Brain, Slice 97 of 155, Axial slice, Image width 240 mm, 1.00 mm slice spacing
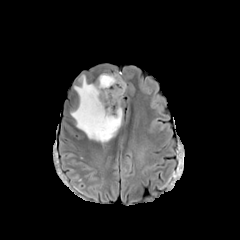
FLAIR MR.
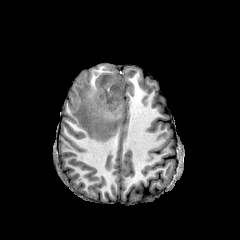
T1-weighted MRI of the same slice.
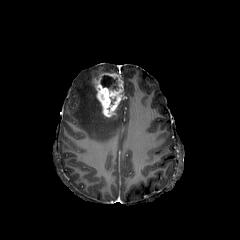
Post-contrast T1-weighted MR image of the same slice.
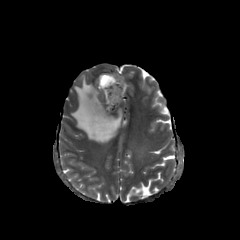
T2-weighted magnetic resonance.
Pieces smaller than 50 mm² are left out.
The enhancing tumor is located at 95 73 123 117. The largest peritumoral edema region is located at 71 74 123 143. The largest necrotic tumor core region is at 101 75 118 89.